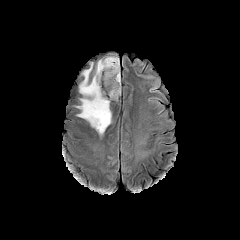
FLAIR MRI.
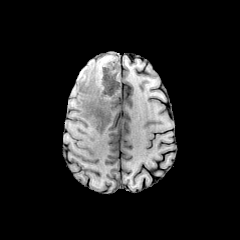
T1-weighted MR of the same slice.
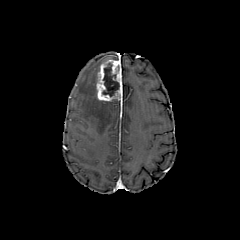
Post-contrast T1-weighted MR.
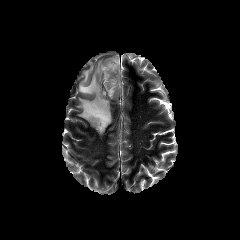
T2-weighted magnetic resonance.
The necrotic tumor core is bounded by bbox(103, 64, 119, 96). The peritumoral edema is at bbox(76, 56, 118, 135). The enhancing tumor appears at bbox(96, 59, 122, 101).